FLAIR MR image.
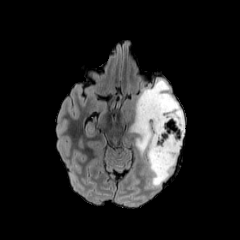
T1-weighted MR.
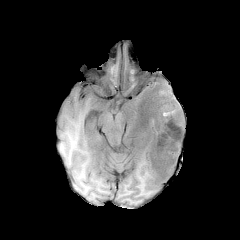
Post-contrast T1-weighted MR image.
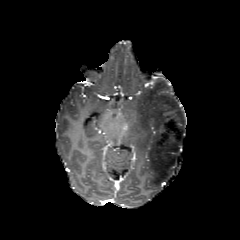
T2-weighted MR.
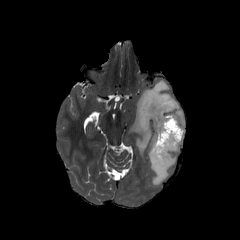
Brain
Segmented structures:
• peritumoral edema: <bbox>130, 79, 184, 186</bbox>